Axial slice. Image size 240x240. Head.
FLAIR magnetic resonance.
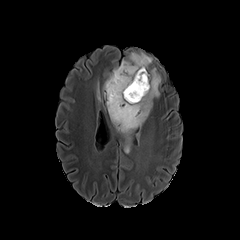
T1-weighted MRI.
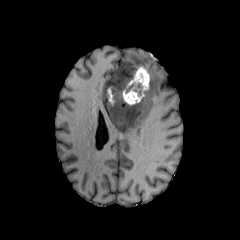
Post-contrast T1-weighted MR image.
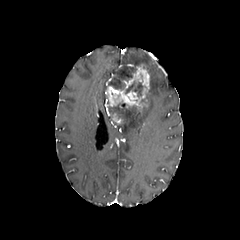
T2-weighted MR.
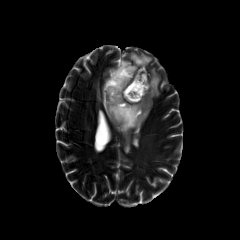
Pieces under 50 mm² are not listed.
necrotic tumor core: 108 65 135 89, 111 103 136 121, 125 80 146 96
enhancing tumor: 111 113 123 124, 105 64 149 113
peritumoral edema: 103 92 111 121, 129 52 151 71, 97 82 100 100, 112 67 161 154